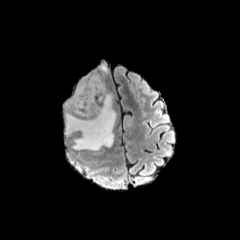
FLAIR magnetic resonance.
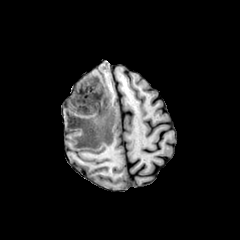
T1-weighted MR image.
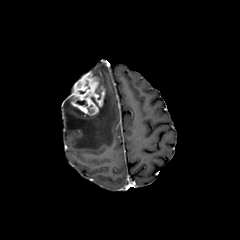
Post-contrast T1-weighted MR.
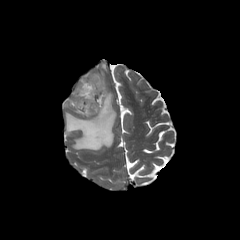
T2-weighted MR image.
240x240 px
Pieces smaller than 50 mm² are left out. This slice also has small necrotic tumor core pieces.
The enhancing tumor is located at [71,72,105,115]. The largest peritumoral edema region lies within [66,93,116,150].